FLAIR MRI.
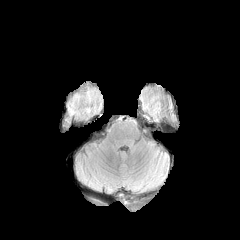
T1-weighted magnetic resonance.
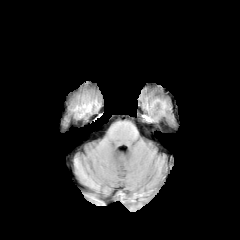
Post-contrast T1-weighted MRI.
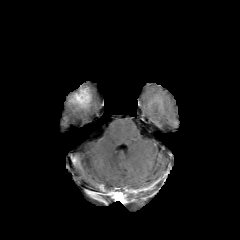
T2-weighted MR image.
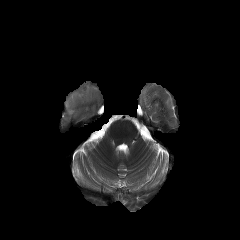
Axial view
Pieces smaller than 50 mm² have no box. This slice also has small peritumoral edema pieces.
Segmented structures:
* enhancing tumor: (69, 88, 90, 104)